FLAIR MR.
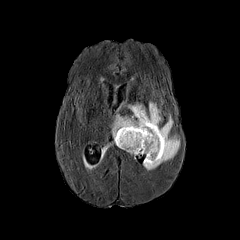
T1-weighted magnetic resonance.
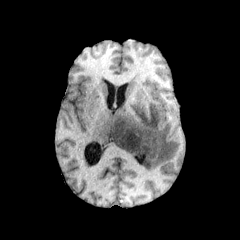
Post-contrast T1-weighted MR.
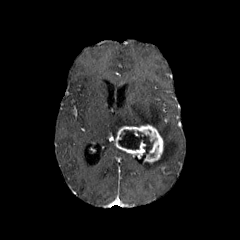
T2-weighted MRI.
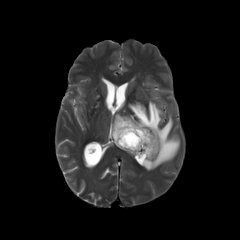
240x240
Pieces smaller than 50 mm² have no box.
Segmented structures:
• necrotic tumor core: <box>118,130,153,153</box>
• peritumoral edema: <box>112,101,179,170</box>
• enhancing tumor: <box>114,124,163,163</box>